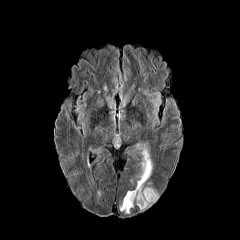
FLAIR magnetic resonance.
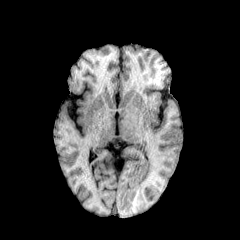
T1-weighted magnetic resonance.
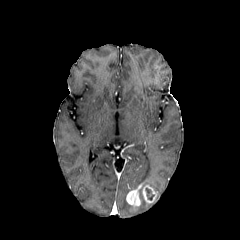
Post-contrast T1-weighted MR image.
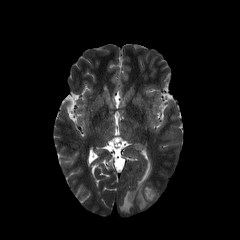
Same slice, T2-weighted MRI.
Head
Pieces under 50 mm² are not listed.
2 necrotic tumor core regions are located at rect(139, 187, 144, 201); rect(145, 188, 154, 200). The 2 largest peritumoral edema regions are bounded by rect(137, 143, 152, 186); rect(120, 196, 133, 213). 2 enhancing tumor regions are bounded by rect(142, 185, 157, 203); rect(126, 184, 142, 205).